FLAIR magnetic resonance.
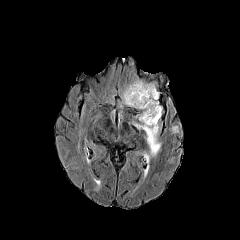
T1-weighted MRI.
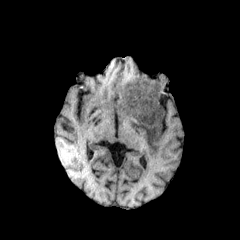
Post-contrast T1-weighted MRI.
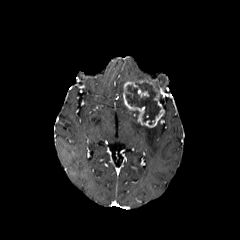
T2-weighted MR image.
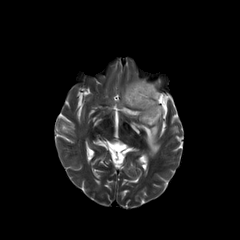
240x240 | Head | Axial slice
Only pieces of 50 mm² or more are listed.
peritumoral edema = box(133, 122, 160, 156)
necrotic tumor core = box(126, 82, 160, 124)
enhancing tumor = box(138, 89, 149, 97); box(123, 80, 164, 127)